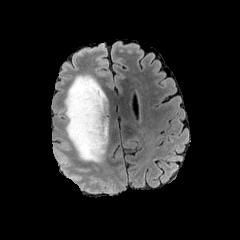
FLAIR MR.
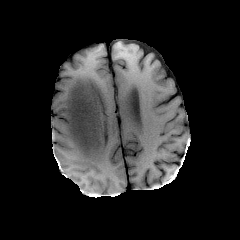
Same slice, T1-weighted MR.
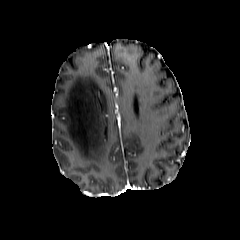
Post-contrast T1-weighted magnetic resonance.
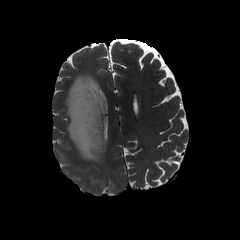
Same slice, T2-weighted MR.
Brain
peritumoral edema at x1=64, y1=75, x2=107, y2=162